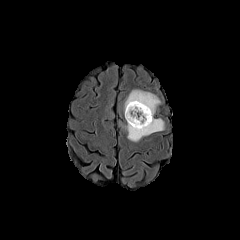
FLAIR MR.
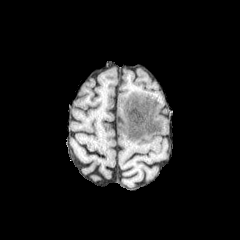
T1-weighted magnetic resonance.
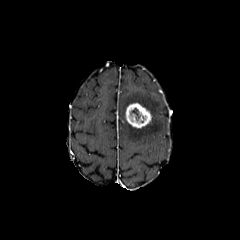
Post-contrast T1-weighted MRI.
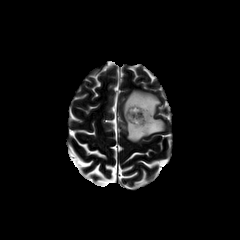
T2-weighted MR image of the same slice.
Head.
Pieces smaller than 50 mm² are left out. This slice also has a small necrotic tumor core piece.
peritumoral edema — {"x1": 123, "y1": 90, "x2": 164, "y2": 141}
enhancing tumor — {"x1": 125, "y1": 103, "x2": 151, "y2": 128}